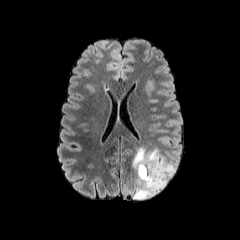
FLAIR MR image.
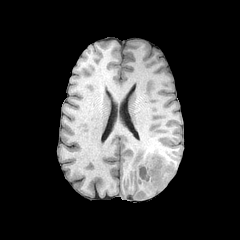
T1-weighted magnetic resonance of the same slice.
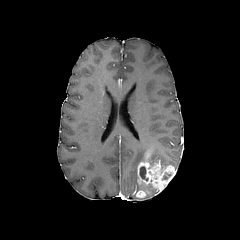
Same slice, post-contrast T1-weighted MR.
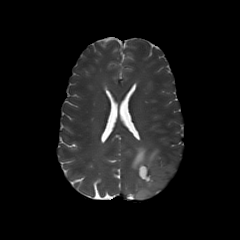
Same slice, T2-weighted MR.
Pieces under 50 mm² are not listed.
Annotated regions:
- enhancing tumor: <bbox>137, 153, 175, 191</bbox>, <bbox>136, 190, 146, 198</bbox>
- peritumoral edema: <bbox>132, 146, 176, 200</bbox>
- necrotic tumor core: <bbox>140, 166, 148, 180</bbox>